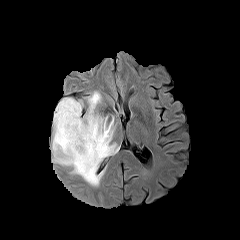
FLAIR MRI.
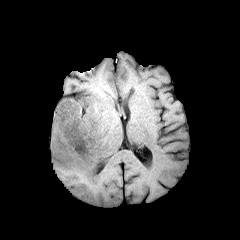
Same slice, T1-weighted MR.
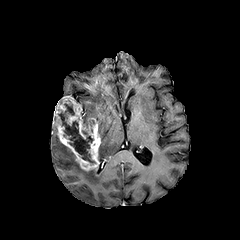
Post-contrast T1-weighted MR image.
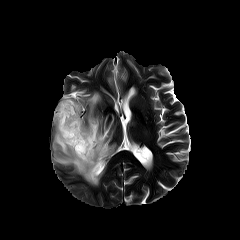
T2-weighted MR.
240x240 px
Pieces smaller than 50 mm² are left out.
necrotic tumor core at 58 103 95 163
peritumoral edema at 82 91 118 162, 52 126 104 185
enhancing tumor at 53 96 101 171